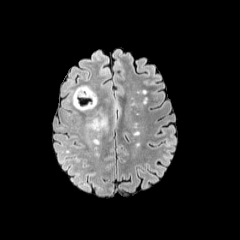
FLAIR MRI.
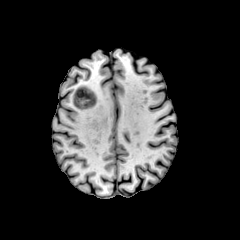
T1-weighted magnetic resonance.
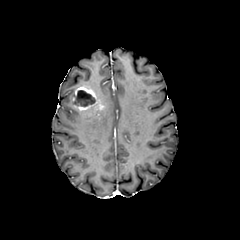
Post-contrast T1-weighted MR image of the same slice.
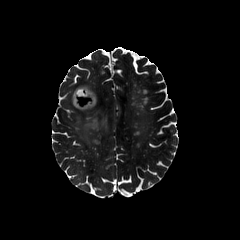
T2-weighted magnetic resonance.
Brain, Image size 240x240, Axial view
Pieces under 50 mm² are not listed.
enhancing_tumor:
  - box(72, 86, 103, 110)
peritumoral_edema:
  - box(70, 90, 75, 106)
  - box(80, 106, 108, 131)
necrotic_tumor_core:
  - box(76, 90, 95, 106)